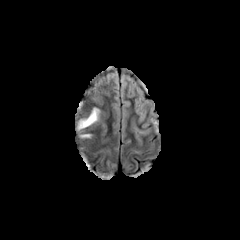
FLAIR MR.
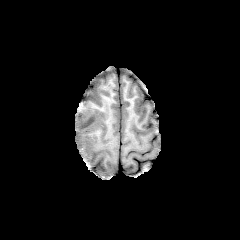
T1-weighted MR image.
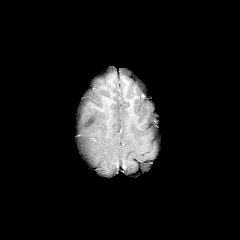
Post-contrast T1-weighted MRI of the same slice.
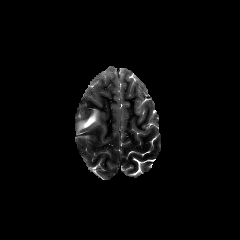
Same slice, T2-weighted MR.
Brain.
peritumoral edema: x1=76, y1=108, x2=99, y2=133; x1=80, y1=134, x2=91, y2=138